Axial view | Brain
FLAIR magnetic resonance.
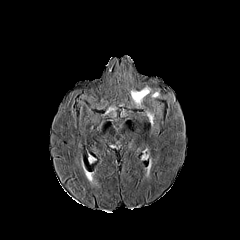
T1-weighted MRI.
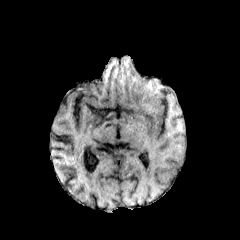
Post-contrast T1-weighted MR image.
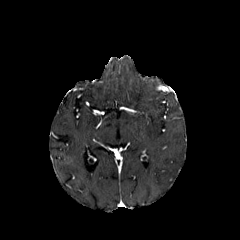
T2-weighted MR.
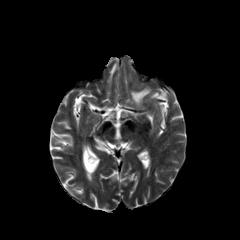
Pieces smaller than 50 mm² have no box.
peritumoral edema — 131, 87, 150, 106; 147, 113, 153, 125